FLAIR MR image.
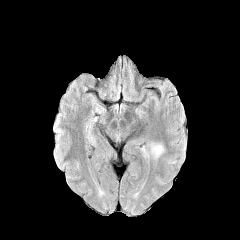
T1-weighted MR image.
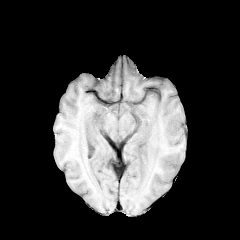
Post-contrast T1-weighted MR.
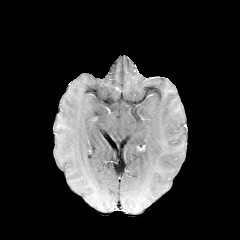
T2-weighted MR.
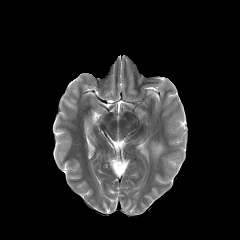
Image size 240x240 | Brain
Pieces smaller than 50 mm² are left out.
Segmented structures:
• peritumoral edema: 151, 143, 163, 158